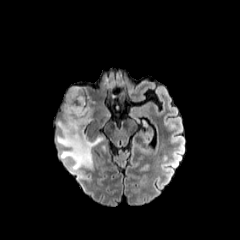
FLAIR MR.
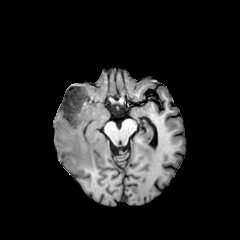
Same slice, T1-weighted magnetic resonance.
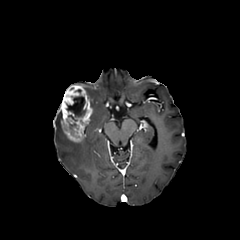
Post-contrast T1-weighted MRI.
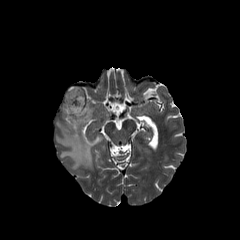
Same slice, T2-weighted magnetic resonance.
Axial view, Image size 240x240, Brain
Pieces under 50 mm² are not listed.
{"enhancing_tumor": ["box(60, 85, 92, 142)"], "peritumoral_edema": ["box(56, 121, 103, 170)"], "necrotic_tumor_core": ["box(67, 96, 85, 116)"]}